Brain; Image width 240 mm, 1.00 mm slice spacing; Slice 110/155
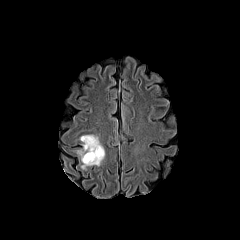
FLAIR MR.
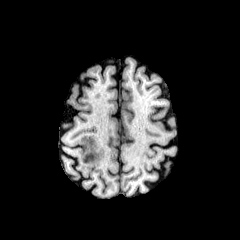
T1-weighted magnetic resonance.
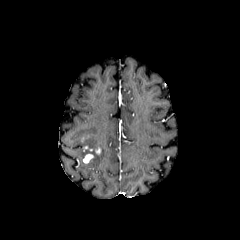
Post-contrast T1-weighted MR image.
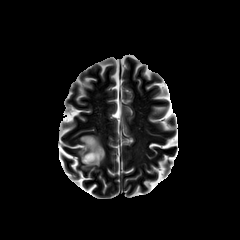
T2-weighted MR image.
peritumoral_edema:
  - 77 135 104 169
enhancing_tumor:
  - 83 154 94 163
  - 83 145 101 155